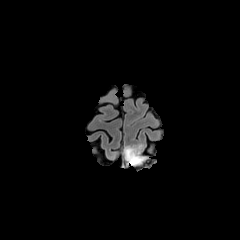
FLAIR MR image.
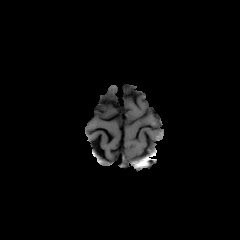
T1-weighted magnetic resonance of the same slice.
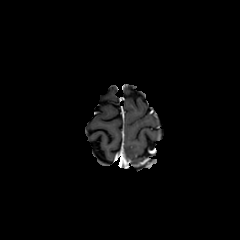
Post-contrast T1-weighted MR.
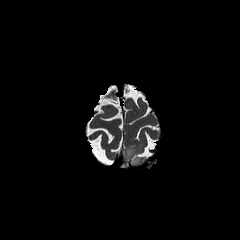
Same slice, T2-weighted magnetic resonance.
peritumoral edema — bbox(124, 144, 148, 165)